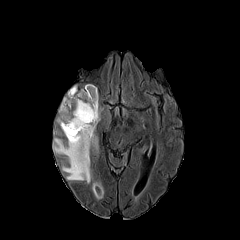
FLAIR MR image.
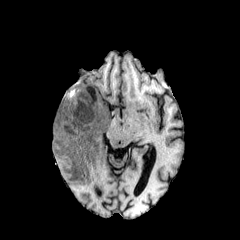
Same slice, T1-weighted magnetic resonance.
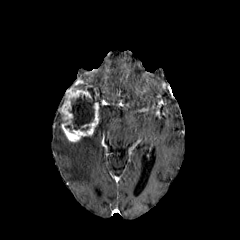
Post-contrast T1-weighted MR image of the same slice.
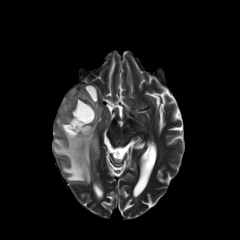
Same slice, T2-weighted magnetic resonance.
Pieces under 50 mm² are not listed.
peritumoral_edema:
  - (92, 182, 103, 199)
  - (54, 116, 63, 134)
  - (53, 133, 98, 183)
necrotic_tumor_core:
  - (69, 86, 97, 130)
enhancing_tumor:
  - (59, 85, 99, 142)